FLAIR MRI.
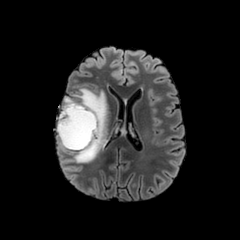
T1-weighted MRI.
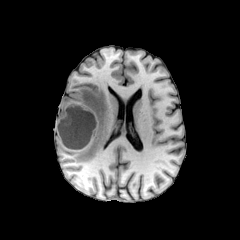
Post-contrast T1-weighted MR image.
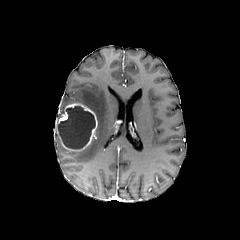
T2-weighted MRI.
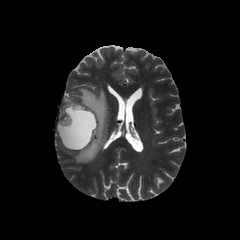
Axial plane
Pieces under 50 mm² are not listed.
enhancing tumor — bbox(56, 103, 97, 150)
peritumoral edema — bbox(58, 88, 107, 162)
necrotic tumor core — bbox(57, 106, 95, 148)